Slice index 103; Image size 240x240; Brain
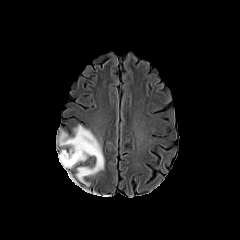
FLAIR MR image.
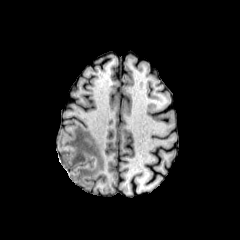
Same slice, T1-weighted magnetic resonance.
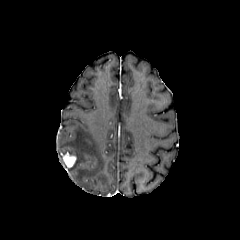
Post-contrast T1-weighted MR image.
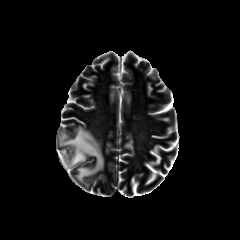
Same slice, T2-weighted MRI.
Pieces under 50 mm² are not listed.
peritumoral edema = rect(58, 125, 104, 185)
enhancing tumor = rect(61, 154, 76, 167)